Brain; 240x240 px
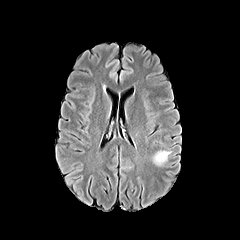
FLAIR MRI.
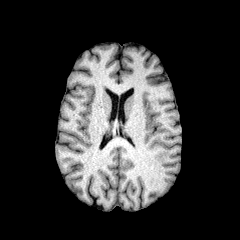
Same slice, T1-weighted MR image.
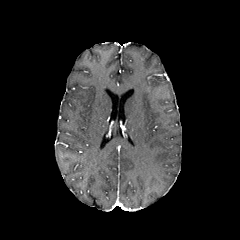
Same slice, post-contrast T1-weighted MR image.
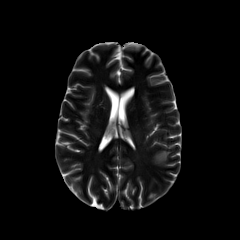
T2-weighted MRI.
Annotated regions:
• peritumoral edema: 154 151 169 165